Slice index 95. 240x240 px.
FLAIR magnetic resonance.
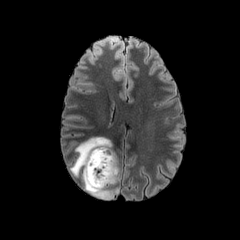
T1-weighted MR.
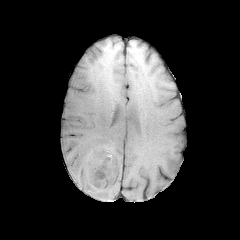
Post-contrast T1-weighted MR image.
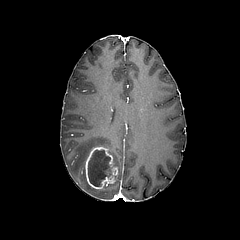
T2-weighted MRI.
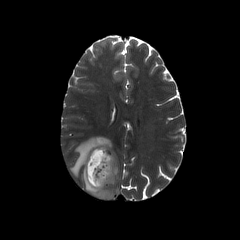
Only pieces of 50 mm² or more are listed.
Segmented structures:
- enhancing tumor: 85,146,118,189
- necrotic tumor core: 88,150,111,186
- peritumoral edema: 69,137,119,199